FLAIR MR image.
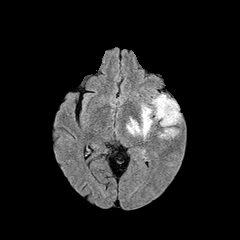
T1-weighted MR.
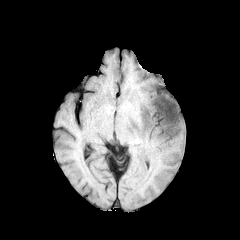
Post-contrast T1-weighted MR.
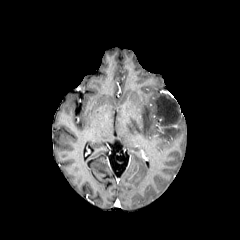
T2-weighted MR.
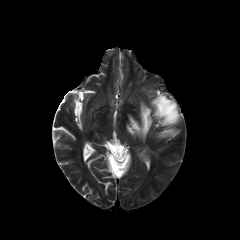
Head | 240x240
3 peritumoral edema regions are located at bbox(126, 104, 152, 139); bbox(159, 128, 178, 137); bbox(151, 94, 180, 126).